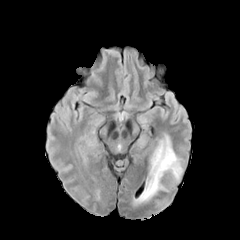
FLAIR MR.
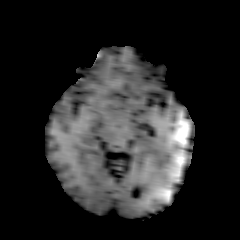
Same slice, T1-weighted MR.
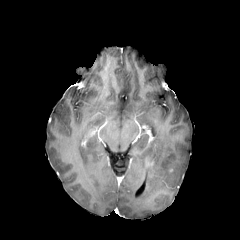
Same slice, post-contrast T1-weighted MR.
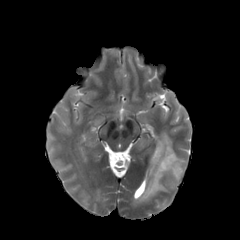
T2-weighted MR image of the same slice.
Axial view
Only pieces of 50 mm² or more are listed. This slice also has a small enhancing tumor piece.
peritumoral edema at box=[135, 133, 182, 205]